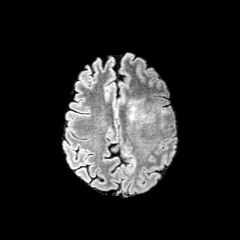
FLAIR MR image.
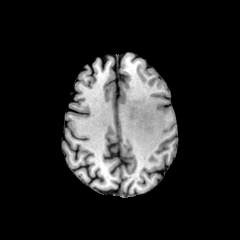
Same slice, T1-weighted magnetic resonance.
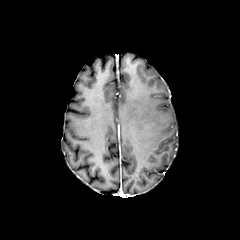
Same slice, post-contrast T1-weighted MR.
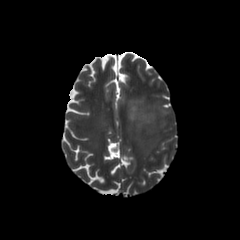
Same slice, T2-weighted MR image.
Brain
peritumoral edema = bbox(127, 96, 155, 127)